240x240 px, Slice index 110, Brain
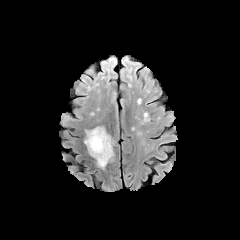
FLAIR MR image.
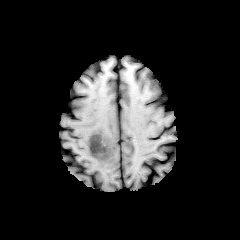
T1-weighted magnetic resonance of the same slice.
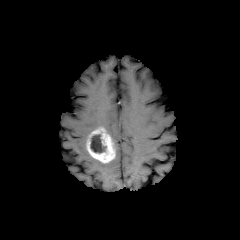
Post-contrast T1-weighted MR image.
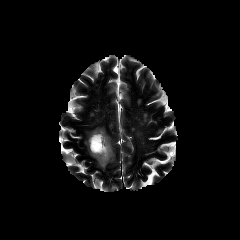
T2-weighted MRI of the same slice.
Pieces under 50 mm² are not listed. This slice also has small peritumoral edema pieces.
necrotic tumor core: x1=91 y1=134 x2=105 y2=152
enhancing tumor: x1=86 y1=127 x2=115 y2=163